FLAIR MR image.
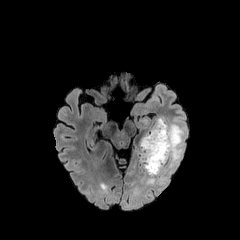
T1-weighted MRI.
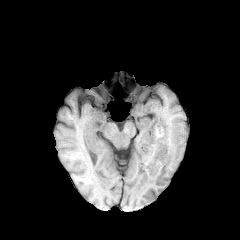
Post-contrast T1-weighted MRI.
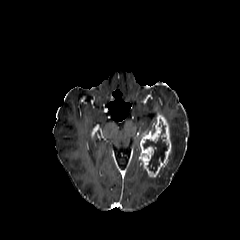
T2-weighted MR image.
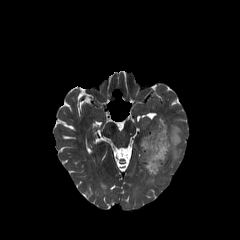
Axial slice, Head
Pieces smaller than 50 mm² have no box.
The largest necrotic tumor core region lies within (143,126,168,172). The largest enhancing tumor region is bounded by (139,114,171,177). The 2 largest peritumoral edema regions are bounded by (166,118,184,172), (145,167,166,184).